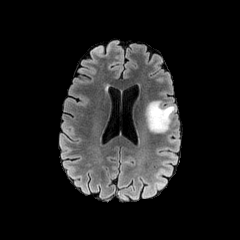
FLAIR magnetic resonance.
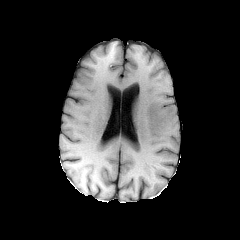
T1-weighted magnetic resonance.
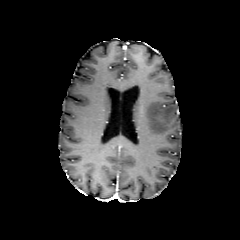
Post-contrast T1-weighted MRI of the same slice.
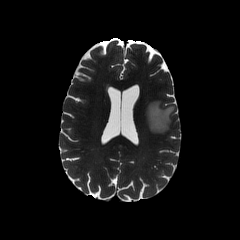
Same slice, T2-weighted MR image.
240x240 px | Axial plane
peritumoral edema: [146,101,175,132]